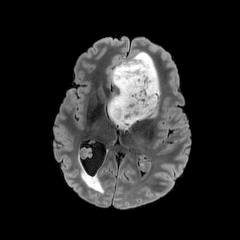
FLAIR MRI.
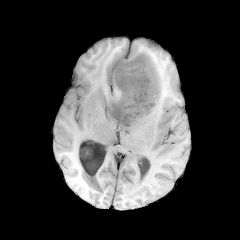
Same slice, T1-weighted MRI.
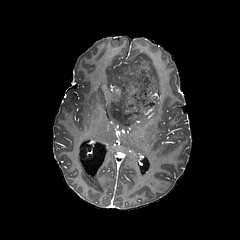
Post-contrast T1-weighted MRI.
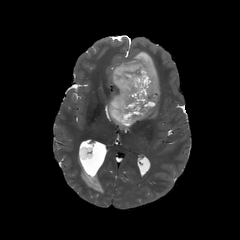
T2-weighted magnetic resonance.
Axial plane. Head.
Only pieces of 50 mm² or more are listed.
peritumoral edema: bounding box bbox(108, 51, 160, 124); bbox(118, 115, 146, 129)
necrotic tumor core: bounding box bbox(112, 55, 158, 124)